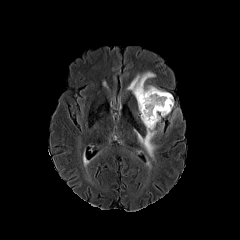
FLAIR magnetic resonance.
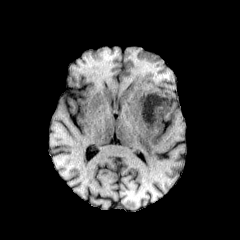
Same slice, T1-weighted MR image.
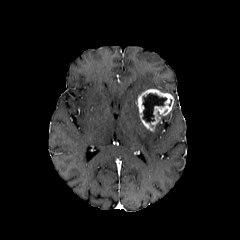
Post-contrast T1-weighted magnetic resonance of the same slice.
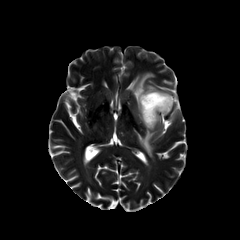
T2-weighted magnetic resonance.
Head
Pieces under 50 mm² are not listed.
enhancing_tumor:
  - (left=137, top=88, right=173, bottom=131)
necrotic_tumor_core:
  - (left=142, top=93, right=166, bottom=122)
peritumoral_edema:
  - (left=127, top=72, right=157, bottom=99)
  - (left=134, top=125, right=163, bottom=158)